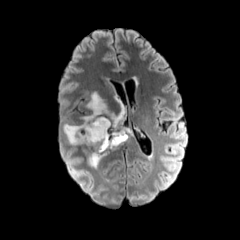
FLAIR MR.
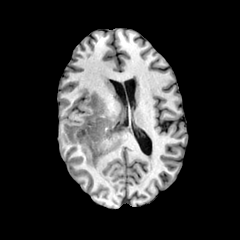
T1-weighted MR.
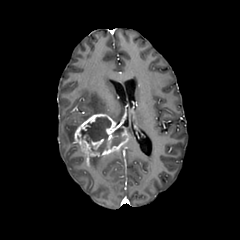
Post-contrast T1-weighted MRI.
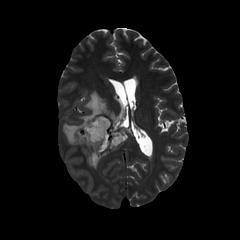
T2-weighted MR image.
Axial view. Image size 240x240.
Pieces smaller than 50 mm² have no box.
peritumoral edema: x1=63, y1=123, x2=78, y2=145; x1=81, y1=92, x2=122, y2=121; x1=90, y1=156, x2=102, y2=168 | necrotic tumor core: x1=110, y1=128, x2=125, y2=147; x1=80, y1=117, x2=111, y2=154 | enhancing tumor: x1=73, y1=113, x2=128, y2=166